FLAIR MR image.
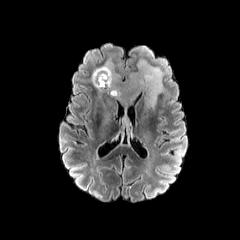
T1-weighted MR image.
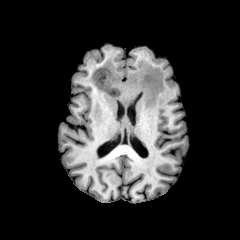
Post-contrast T1-weighted MR.
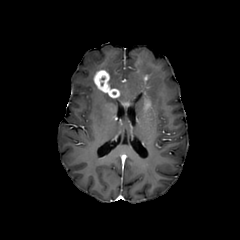
T2-weighted magnetic resonance.
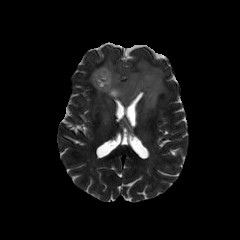
Axial slice.
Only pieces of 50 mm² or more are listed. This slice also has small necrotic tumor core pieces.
enhancing tumor: bounding box <box>144,98,151,109</box>, <box>93,70,119,97</box>
peritumoral edema: bounding box <box>91,59,164,108</box>